FLAIR MR.
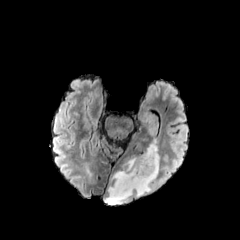
T1-weighted MR.
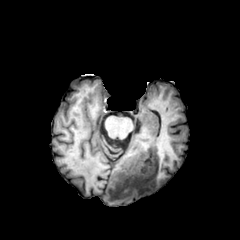
Post-contrast T1-weighted MR.
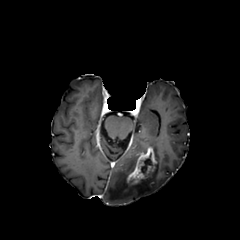
T2-weighted MR image.
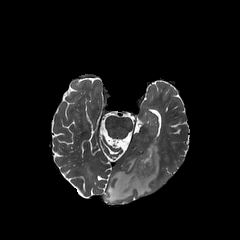
Axial slice, Head
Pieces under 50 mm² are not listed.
The necrotic tumor core is located at bbox=[141, 152, 152, 173]. The largest peritumoral edema region is bounded by bbox=[104, 141, 159, 204]. The enhancing tumor is at bbox=[127, 146, 156, 184].